FLAIR MR.
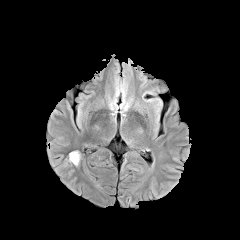
T1-weighted MR.
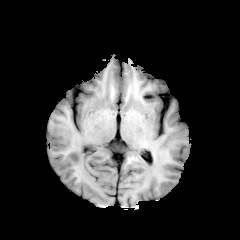
Post-contrast T1-weighted MRI.
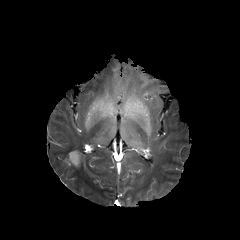
T2-weighted MR.
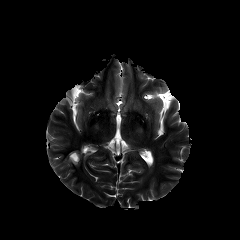
240x240; Axial plane
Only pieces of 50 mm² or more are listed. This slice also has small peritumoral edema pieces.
The enhancing tumor lies within (69, 151, 79, 165).